Brain | Axial plane | Slice 39/155
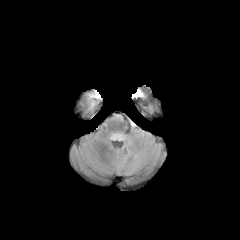
FLAIR magnetic resonance.
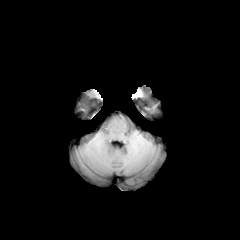
T1-weighted magnetic resonance.
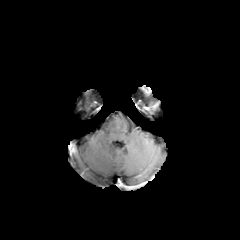
Same slice, post-contrast T1-weighted MR image.
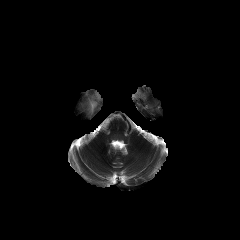
T2-weighted MR.
peritumoral edema — (88,94,99,109)